Head | Image size 240x240
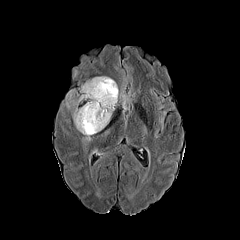
FLAIR MR.
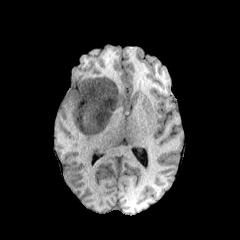
T1-weighted MR.
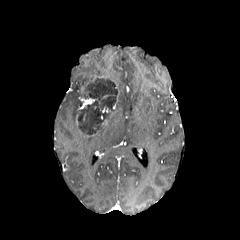
Post-contrast T1-weighted MR.
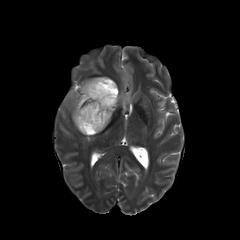
T2-weighted MR image.
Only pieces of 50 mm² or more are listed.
peritumoral edema: x1=118 y1=92 x2=130 y2=109, x1=65 y1=91 x2=82 y2=108, x1=73 y1=108 x2=91 y2=141 | enhancing tumor: x1=79 y1=97 x2=95 y2=109 | necrotic tumor core: x1=78 y1=78 x2=118 y2=134